FLAIR magnetic resonance.
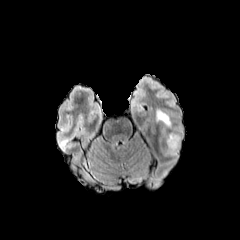
T1-weighted MR.
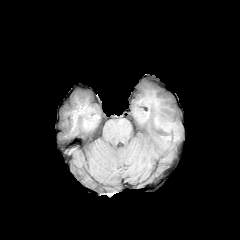
Post-contrast T1-weighted MRI.
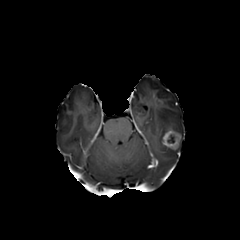
T2-weighted MR image.
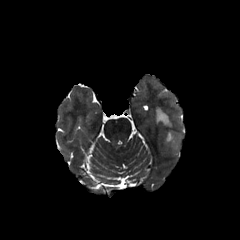
Brain, 240x240
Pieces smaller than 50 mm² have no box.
{
  "necrotic_tumor_core": [
    "(left=167, top=135, right=174, bottom=143)"
  ],
  "peritumoral_edema": [
    "(left=156, top=109, right=171, bottom=128)"
  ],
  "enhancing_tumor": [
    "(left=162, top=129, right=180, bottom=149)"
  ]
}